Axial slice. Image size 240x240. Slice 83 of 155.
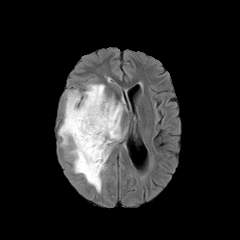
FLAIR magnetic resonance.
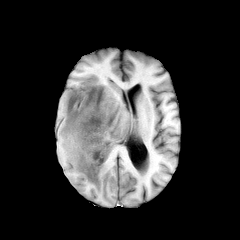
Same slice, T1-weighted MR image.
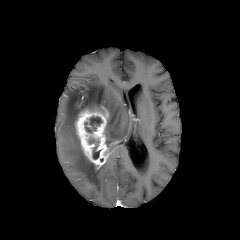
Post-contrast T1-weighted MRI.
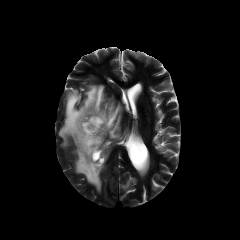
Same slice, T2-weighted magnetic resonance.
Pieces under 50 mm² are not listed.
peritumoral edema: (59, 84, 123, 192) | necrotic tumor core: (90, 117, 101, 130), (93, 146, 99, 159) | enhancing tumor: (74, 106, 109, 169)